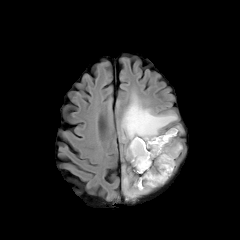
FLAIR MR image.
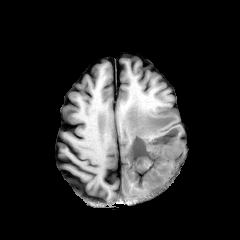
T1-weighted MR of the same slice.
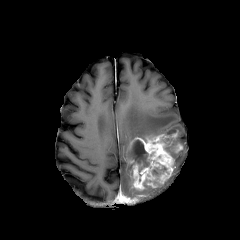
Post-contrast T1-weighted magnetic resonance.
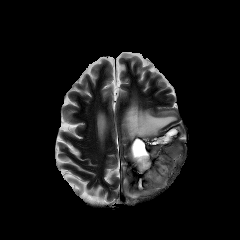
T2-weighted MR of the same slice.
Head.
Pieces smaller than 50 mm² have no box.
peritumoral edema: bounding box region(121, 98, 177, 141); region(165, 126, 181, 134); region(165, 140, 178, 158); region(123, 166, 152, 198)
enhancing tumor: bounding box region(170, 143, 182, 153); region(129, 131, 177, 190)
necrotic tumor core: bounding box region(131, 140, 149, 166); region(152, 167, 166, 175)